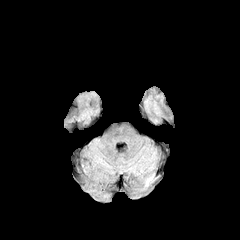
FLAIR MRI.
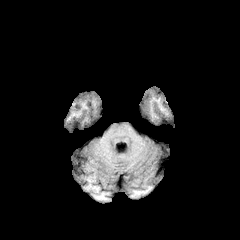
Same slice, T1-weighted MR.
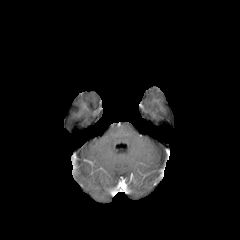
Same slice, post-contrast T1-weighted MRI.
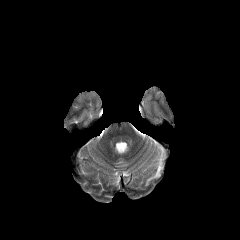
Same slice, T2-weighted MRI.
Axial plane; 240x240 px; Head
The peritumoral edema is bounded by l=145, t=174, r=153, b=187.